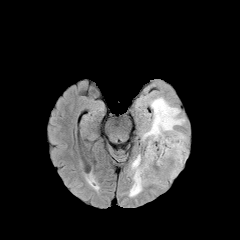
FLAIR MRI.
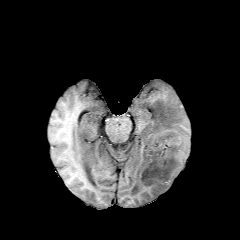
T1-weighted MR image of the same slice.
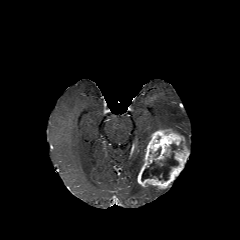
Post-contrast T1-weighted MR image of the same slice.
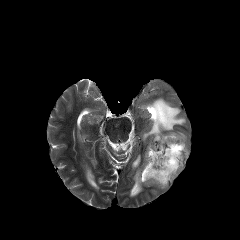
T2-weighted MR image.
Axial plane
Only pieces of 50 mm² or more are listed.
The 2 largest necrotic tumor core regions are bounded by (141, 152, 178, 181), (170, 141, 182, 150). The largest enhancing tumor region is at (137, 129, 188, 188). 2 peritumoral edema regions appear at (142, 97, 187, 145), (129, 154, 143, 196).